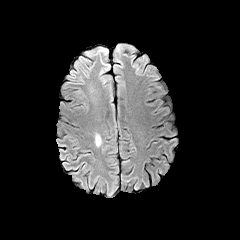
FLAIR MR image.
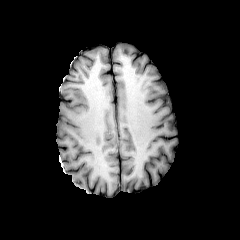
T1-weighted MR image of the same slice.
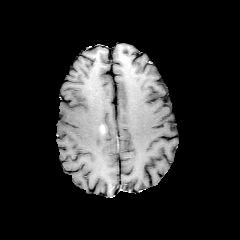
Post-contrast T1-weighted MRI.
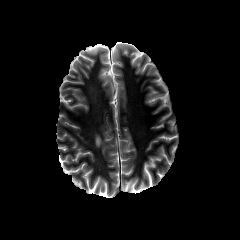
T2-weighted magnetic resonance of the same slice.
Head
{
  "peritumoral_edema": [
    "95:125:108:147"
  ]
}